Image size 240x240, Axial slice, Brain, Slice index 100
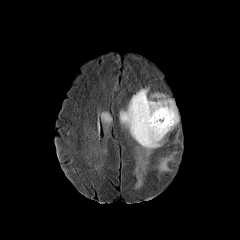
FLAIR MR image.
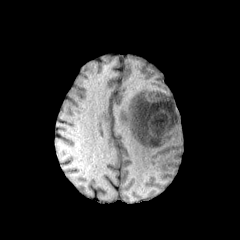
T1-weighted magnetic resonance of the same slice.
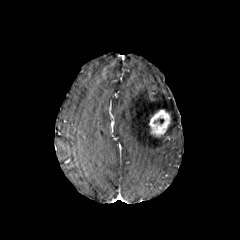
Post-contrast T1-weighted MR image of the same slice.
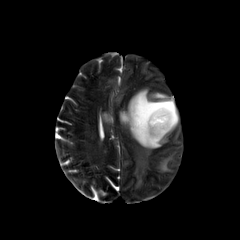
Same slice, T2-weighted magnetic resonance.
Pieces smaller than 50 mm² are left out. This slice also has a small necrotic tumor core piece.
The enhancing tumor is bounded by bbox=[149, 109, 171, 137]. 2 peritumoral edema regions appear at bbox=[102, 112, 110, 123]; bbox=[120, 87, 180, 186].